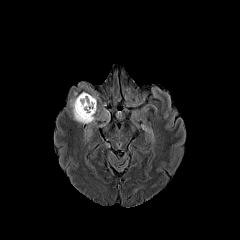
FLAIR MR image.
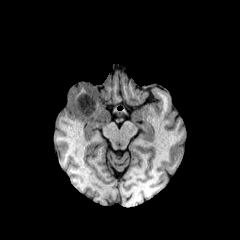
T1-weighted MR image.
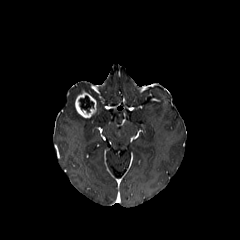
Post-contrast T1-weighted magnetic resonance.
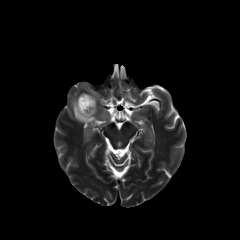
Same slice, T2-weighted magnetic resonance.
Brain, 240x240 px, Axial slice
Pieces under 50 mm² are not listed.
The enhancing tumor lies within bbox=[75, 92, 96, 118]. The necrotic tumor core is located at bbox=[79, 95, 94, 113]. The 3 largest peritumoral edema regions are located at bbox=[69, 92, 109, 139]; bbox=[148, 129, 153, 141]; bbox=[79, 82, 90, 91].